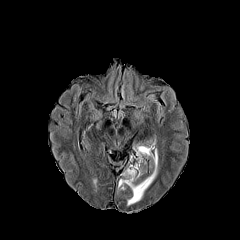
FLAIR MR image.
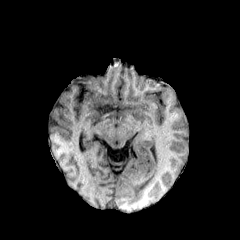
T1-weighted MRI of the same slice.
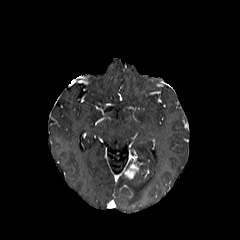
Same slice, post-contrast T1-weighted MR image.
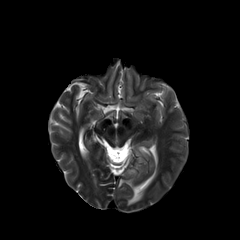
Same slice, T2-weighted MRI.
Axial view; Head
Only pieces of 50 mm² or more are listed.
* enhancing tumor: x1=122, y1=156, x2=140, y2=179
* peritumoral edema: x1=118, y1=145, x2=157, y2=205